Head. Axial slice.
FLAIR MR image.
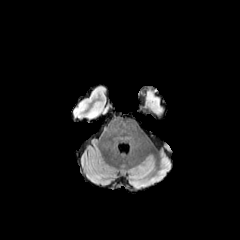
T1-weighted magnetic resonance.
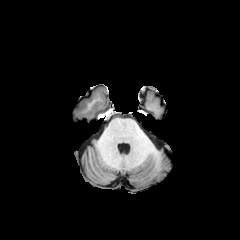
Post-contrast T1-weighted MRI.
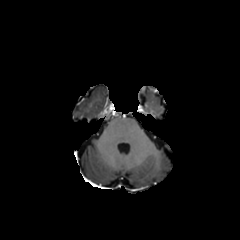
T2-weighted MR.
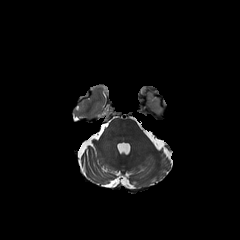
The peritumoral edema lies within (left=146, top=92, right=162, bottom=113).